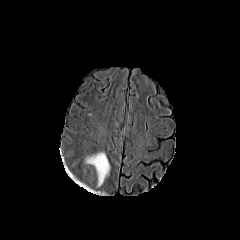
FLAIR MR.
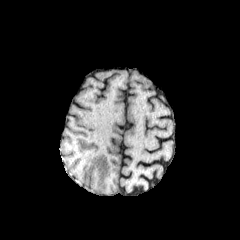
T1-weighted magnetic resonance.
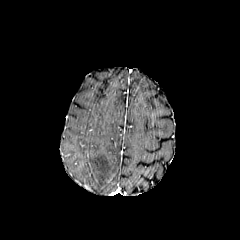
Post-contrast T1-weighted magnetic resonance of the same slice.
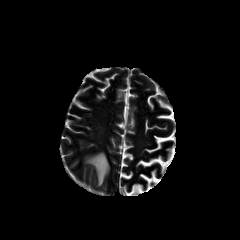
T2-weighted MRI of the same slice.
240x240 px | Brain
peritumoral edema: bounding box box(85, 152, 110, 186)